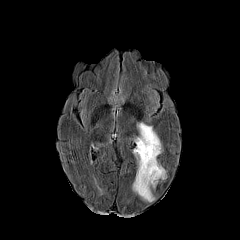
FLAIR MRI.
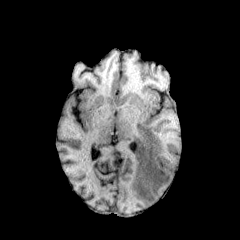
T1-weighted MR.
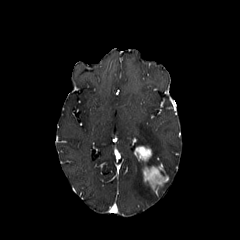
Post-contrast T1-weighted magnetic resonance of the same slice.
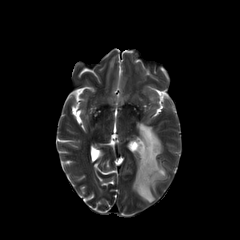
Same slice, T2-weighted MR image.
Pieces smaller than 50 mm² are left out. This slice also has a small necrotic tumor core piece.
<segmentation>
  <peritumoral_edema>box=[137, 122, 162, 165]; box=[132, 161, 154, 202]</peritumoral_edema>
  <enhancing_tumor>box=[134, 146, 168, 189]</enhancing_tumor>
</segmentation>